Brain. Slice 66 of 155.
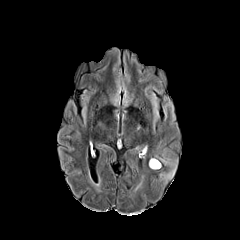
FLAIR MR image.
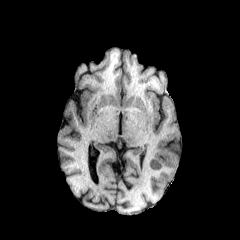
Same slice, T1-weighted MRI.
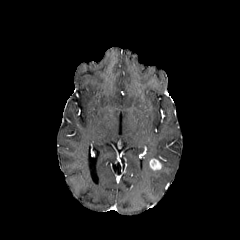
Post-contrast T1-weighted MR image.
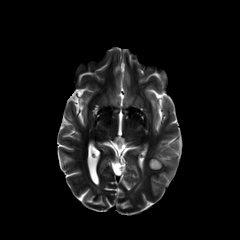
T2-weighted MRI.
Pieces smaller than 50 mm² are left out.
The enhancing tumor is at x1=149, y1=159, x2=161, y2=170. The largest peritumoral edema region is located at x1=160, y1=160, x2=176, y2=180.